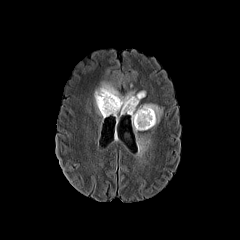
FLAIR MR image.
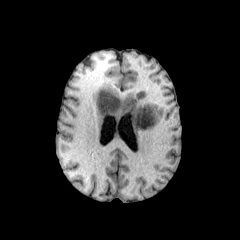
T1-weighted MR.
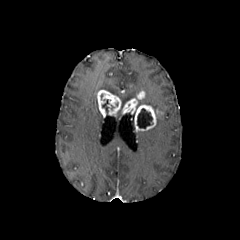
Same slice, post-contrast T1-weighted magnetic resonance.
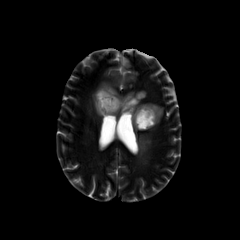
T2-weighted MRI.
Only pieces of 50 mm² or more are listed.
{
  "peritumoral_edema": [
    "146 103 162 112",
    "94 81 137 132",
    "137 136 150 154"
  ],
  "enhancing_tumor": [
    "97 90 121 117",
    "122 91 162 131"
  ],
  "necrotic_tumor_core": [
    "137 108 152 128",
    "102 99 108 114"
  ]
}